FLAIR MR image.
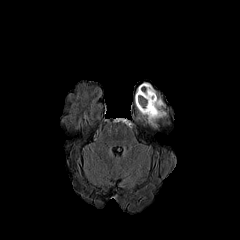
T1-weighted MRI.
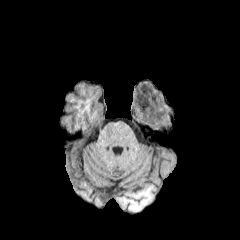
Post-contrast T1-weighted MR image.
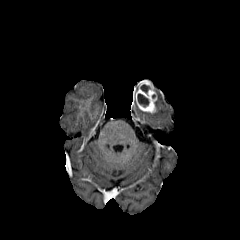
T2-weighted MRI.
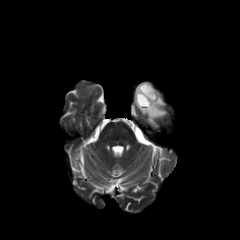
Head
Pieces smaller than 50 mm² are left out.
Segmented structures:
• peritumoral edema: left=138, top=97, right=166, bottom=126
• enhancing tumor: left=135, top=81, right=157, bottom=113
• necrotic tumor core: left=140, top=84, right=149, bottom=92; left=137, top=94, right=148, bottom=106